Brain
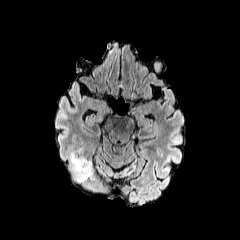
FLAIR MR image.
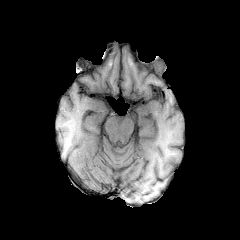
Same slice, T1-weighted MRI.
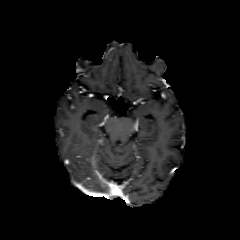
Post-contrast T1-weighted magnetic resonance.
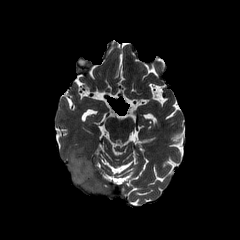
T2-weighted MRI.
peritumoral edema — {"x1": 71, "y1": 153, "x2": 91, "y2": 181}